Image width 240 mm, 1.00 mm slice spacing; Head; Slice 76 of 155
FLAIR MR.
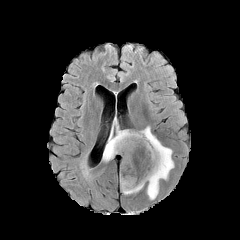
T1-weighted magnetic resonance.
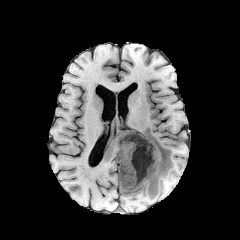
Post-contrast T1-weighted MR image.
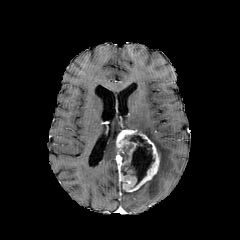
T2-weighted MRI.
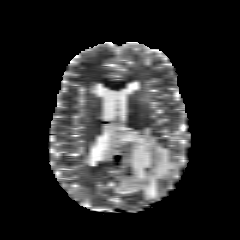
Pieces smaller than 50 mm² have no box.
necrotic tumor core at x1=121, y1=135, x2=154, y2=185
peritumoral edema at x1=118, y1=145, x2=132, y2=161; x1=120, y1=182, x2=144, y2=194; x1=139, y1=126, x2=174, y2=199; x1=102, y1=120, x2=121, y2=161
enhancing tumor at x1=116, y1=129, x2=159, y2=192